FLAIR MR.
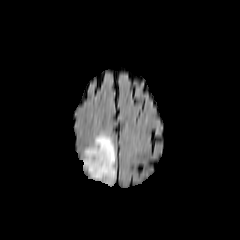
T1-weighted MR.
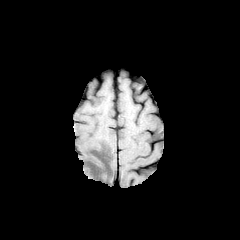
Post-contrast T1-weighted MR image.
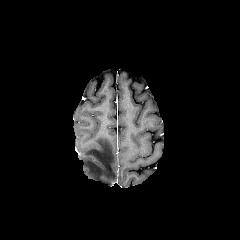
T2-weighted MR image.
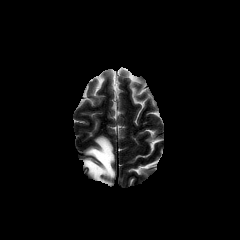
Head.
peritumoral edema = (left=83, top=134, right=115, bottom=185)